Brain | Image size 240x240 | Slice 69 of 155
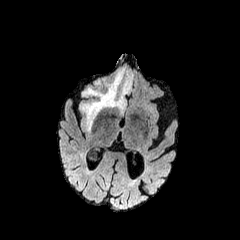
FLAIR MR.
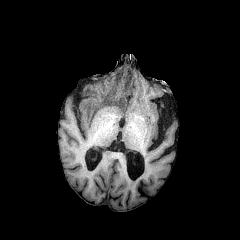
T1-weighted MRI of the same slice.
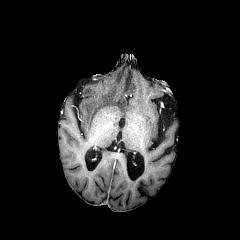
Same slice, post-contrast T1-weighted magnetic resonance.
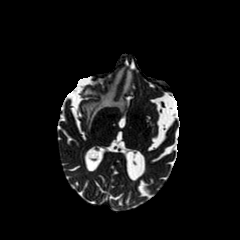
Same slice, T2-weighted magnetic resonance.
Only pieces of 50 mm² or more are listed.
peritumoral edema — region(83, 69, 132, 129)